FLAIR MR image.
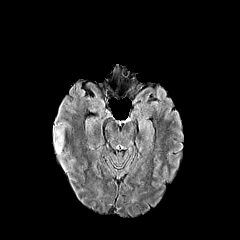
T1-weighted MR.
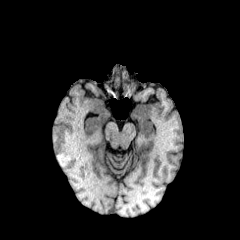
Post-contrast T1-weighted MR image.
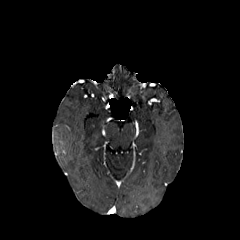
T2-weighted magnetic resonance.
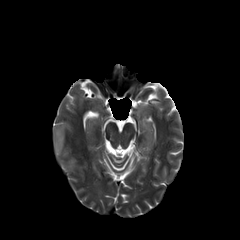
Image size 240x240, Brain
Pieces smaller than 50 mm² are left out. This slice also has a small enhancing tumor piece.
peritumoral edema at [54,124,65,151]